FLAIR MRI.
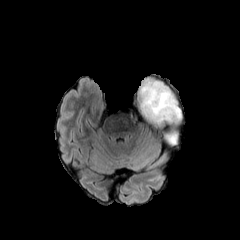
T1-weighted MR.
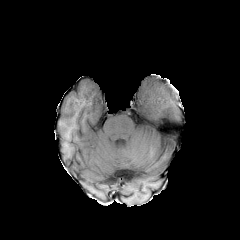
Post-contrast T1-weighted MR.
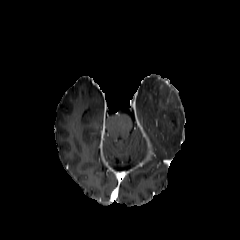
T2-weighted MR image.
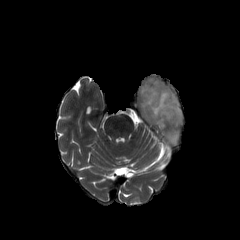
Brain
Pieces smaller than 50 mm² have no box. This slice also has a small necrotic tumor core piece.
The enhancing tumor appears at [169,112,177,127]. The peritumoral edema is at [139,79,181,144].